Brain
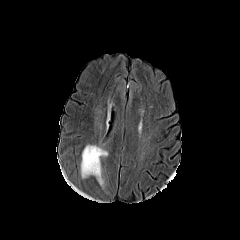
FLAIR magnetic resonance.
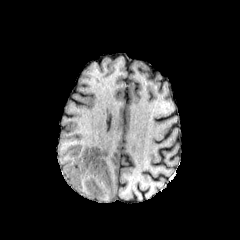
T1-weighted MR image.
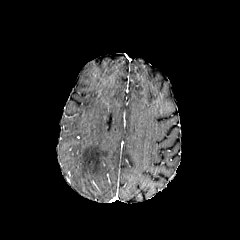
Post-contrast T1-weighted MR.
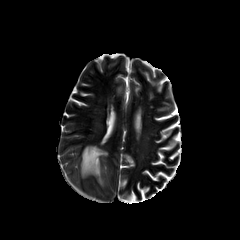
Same slice, T2-weighted MR.
Annotated regions:
- peritumoral edema: (80, 145, 108, 188)